Image size 240x240 | Image width 240 mm
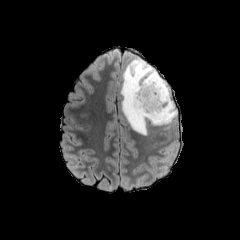
FLAIR MR image.
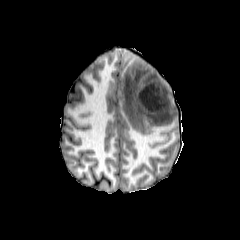
T1-weighted MR.
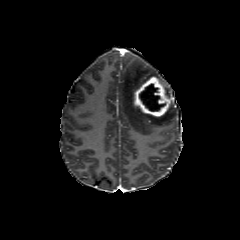
Post-contrast T1-weighted MR.
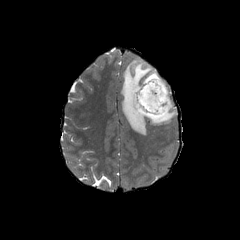
T2-weighted MR.
The necrotic tumor core is bounded by {"x1": 139, "y1": 83, "x2": 165, "y2": 111}. The peritumoral edema lies within {"x1": 120, "y1": 58, "x2": 176, "y2": 135}. The enhancing tumor appears at {"x1": 131, "y1": 75, "x2": 171, "y2": 118}.